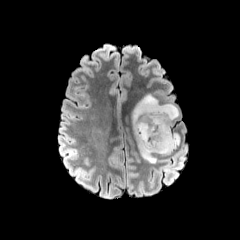
FLAIR MR.
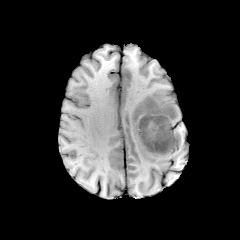
T1-weighted MR image.
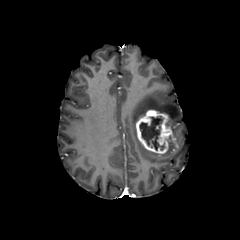
Post-contrast T1-weighted magnetic resonance.
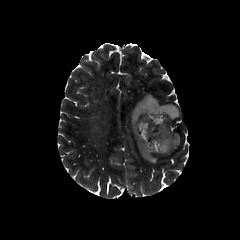
T2-weighted MR of the same slice.
Axial view, Head
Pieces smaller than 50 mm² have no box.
necrotic tumor core: bounding box region(139, 115, 164, 150)
peritumoral edema: bounding box region(131, 93, 179, 163); region(157, 147, 175, 155)
enhancing tumor: bounding box region(136, 109, 178, 153)